Brain
FLAIR magnetic resonance.
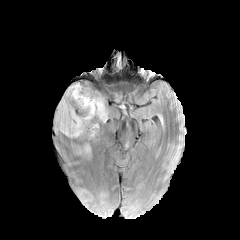
T1-weighted magnetic resonance.
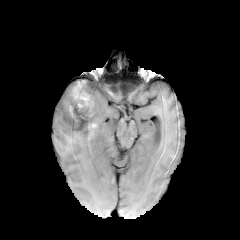
Post-contrast T1-weighted MR image.
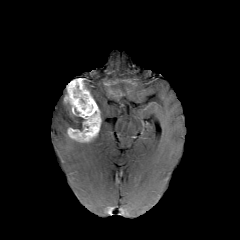
T2-weighted magnetic resonance.
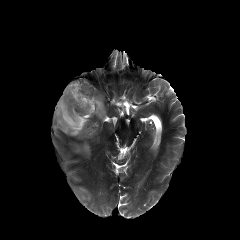
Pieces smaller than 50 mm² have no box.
{"peritumoral_edema": ["<bbox>56, 98, 83, 135</bbox>", "<bbox>93, 96, 107, 122</bbox>", "<bbox>83, 145, 90, 153</bbox>"], "necrotic_tumor_core": ["<bbox>74, 85, 87, 109</bbox>"], "enhancing_tumor": ["<bbox>64, 80, 101, 141</bbox>"]}